FLAIR MR image.
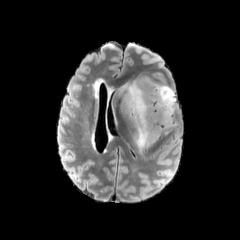
T1-weighted MR image.
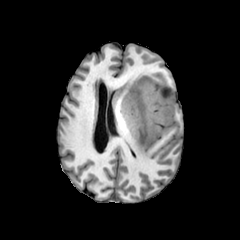
Post-contrast T1-weighted MR image.
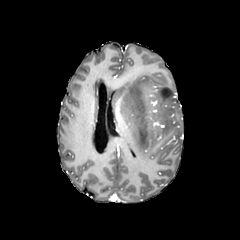
T2-weighted magnetic resonance.
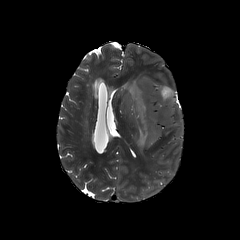
Brain. Axial view.
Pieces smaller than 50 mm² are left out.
The largest peritumoral edema region lies within x1=118, y1=75, x2=175, y2=152.